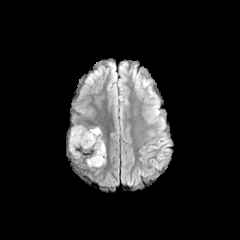
FLAIR MR.
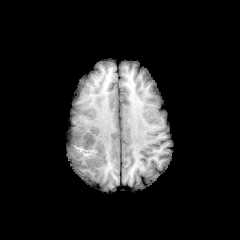
T1-weighted MR image.
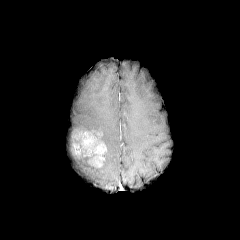
Post-contrast T1-weighted MR of the same slice.
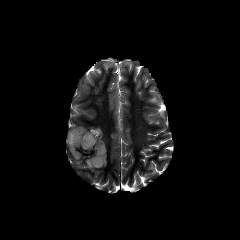
T2-weighted magnetic resonance.
Image size 240x240; Brain
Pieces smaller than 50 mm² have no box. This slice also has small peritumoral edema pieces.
enhancing tumor: bounding box 71, 129, 106, 167